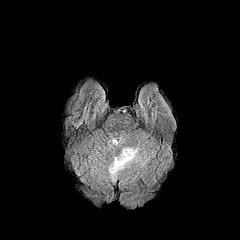
FLAIR MR.
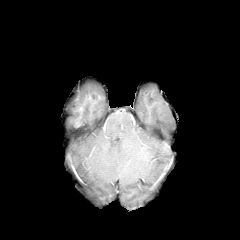
T1-weighted MRI of the same slice.
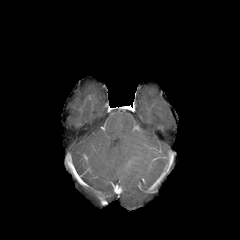
Same slice, post-contrast T1-weighted MR image.
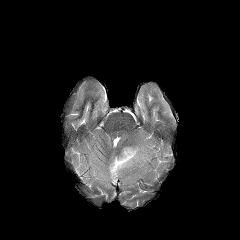
T2-weighted MRI of the same slice.
Axial plane, Head
peritumoral edema = (x1=108, y1=147, x2=148, y2=181)